FLAIR MR.
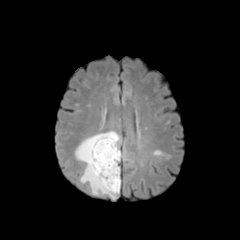
T1-weighted MR.
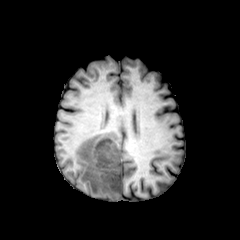
Post-contrast T1-weighted MR.
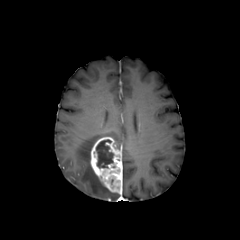
T2-weighted MRI.
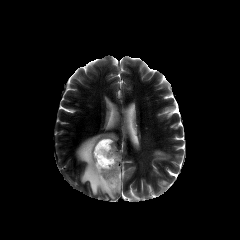
Head
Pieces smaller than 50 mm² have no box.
enhancing_tumor:
  - rect(90, 137, 122, 193)
necrotic_tumor_core:
  - rect(96, 140, 113, 167)
peritumoral_edema:
  - rect(75, 131, 119, 199)